FLAIR MR.
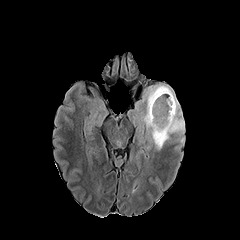
T1-weighted MR.
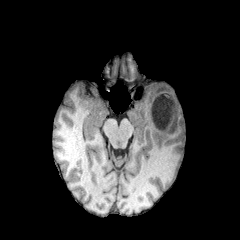
Post-contrast T1-weighted MR image.
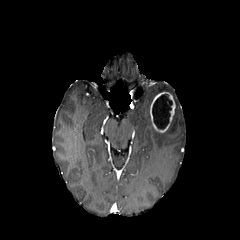
T2-weighted MR.
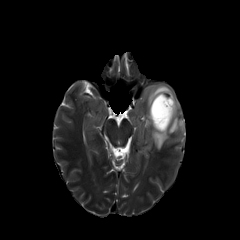
240x240.
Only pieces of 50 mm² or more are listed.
necrotic tumor core at box=[152, 94, 172, 129]
peritumoral edema at box=[141, 83, 185, 149]
enhancing tumor at box=[150, 92, 175, 132]